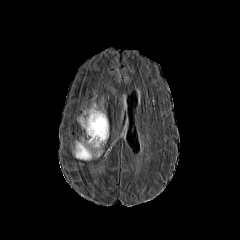
FLAIR magnetic resonance.
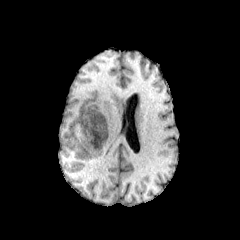
T1-weighted magnetic resonance of the same slice.
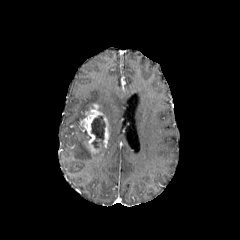
Same slice, post-contrast T1-weighted MR image.
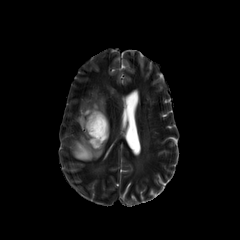
T2-weighted magnetic resonance.
240x240
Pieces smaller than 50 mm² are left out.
The necrotic tumor core is at box(91, 116, 105, 148). The enhancing tumor is bounded by box(80, 103, 109, 154). The largest peritumoral edema region is at box(73, 137, 103, 160).